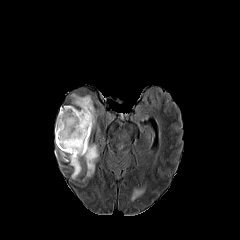
FLAIR magnetic resonance.
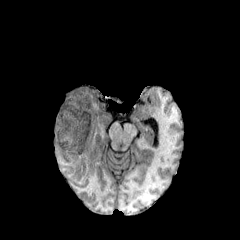
T1-weighted magnetic resonance.
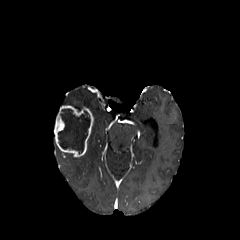
Post-contrast T1-weighted magnetic resonance.
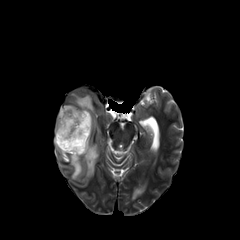
T2-weighted MRI of the same slice.
Head | Axial slice | 240x240 px
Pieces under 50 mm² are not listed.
Segmented structures:
• peritumoral edema: 71, 93, 97, 128; 82, 139, 98, 177; 59, 150, 82, 179; 130, 185, 147, 201
• necrotic tumor core: 58, 108, 90, 154
• enhancing tumor: 54, 105, 93, 157